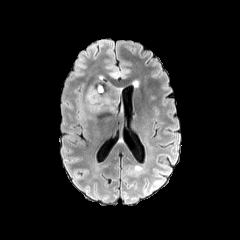
FLAIR magnetic resonance.
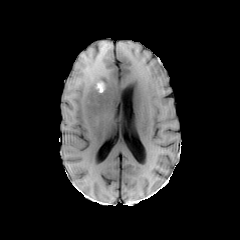
Same slice, T1-weighted magnetic resonance.
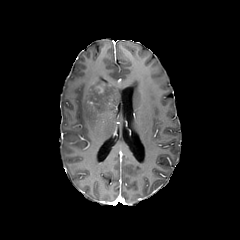
Post-contrast T1-weighted MRI.
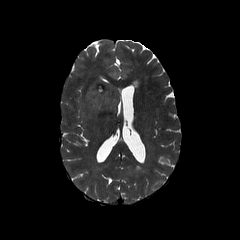
T2-weighted magnetic resonance.
240x240. Axial plane.
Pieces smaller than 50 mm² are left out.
enhancing tumor: 95 84 104 93 | peritumoral edema: 83 76 118 119